FLAIR magnetic resonance.
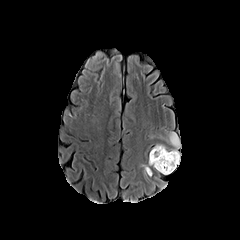
T1-weighted MRI.
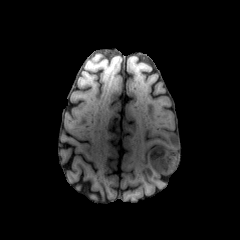
Post-contrast T1-weighted MR.
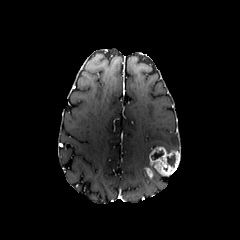
T2-weighted magnetic resonance.
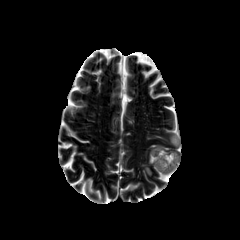
Axial view.
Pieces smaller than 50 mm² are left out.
{
  "enhancing_tumor": [
    "<bbox>145, 167, 152, 177</bbox>",
    "<bbox>149, 146, 180, 176</bbox>"
  ],
  "peritumoral_edema": [
    "<bbox>169, 132, 181, 150</bbox>"
  ],
  "necrotic_tumor_core": [
    "<bbox>167, 154, 175, 167</bbox>",
    "<bbox>151, 150, 163, 160</bbox>"
  ]
}